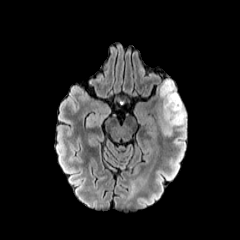
FLAIR MR image.
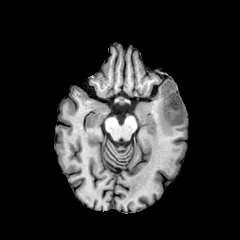
T1-weighted MR.
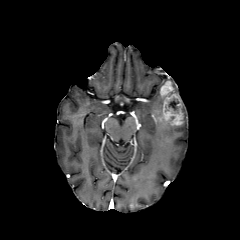
Post-contrast T1-weighted MR.
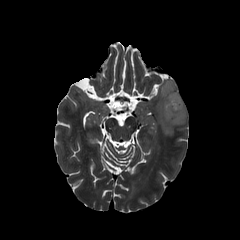
Same slice, T2-weighted magnetic resonance.
Axial slice, Head
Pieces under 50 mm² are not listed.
The largest necrotic tumor core region lies within (168, 99, 179, 109). The enhancing tumor lies within (160, 80, 183, 125). The 2 largest peritumoral edema regions are located at (180, 105, 186, 125), (157, 88, 178, 134).